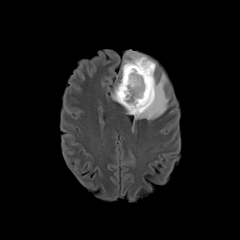
FLAIR MRI.
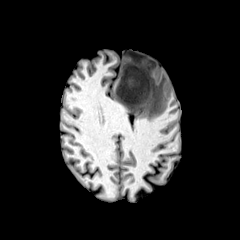
T1-weighted magnetic resonance.
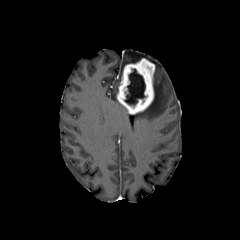
Same slice, post-contrast T1-weighted magnetic resonance.
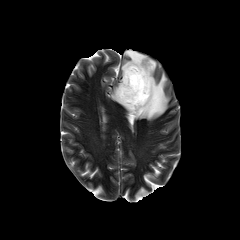
T2-weighted magnetic resonance.
<segmentation>
  <enhancing_tumor>region(116, 58, 155, 114)</enhancing_tumor>
  <peritumoral_edema>region(122, 50, 156, 74); region(112, 83, 119, 101); region(134, 73, 169, 119)</peritumoral_edema>
  <necrotic_tumor_core>region(124, 69, 145, 105)</necrotic_tumor_core>
</segmentation>